Slice index 47
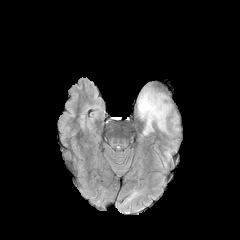
FLAIR MR image.
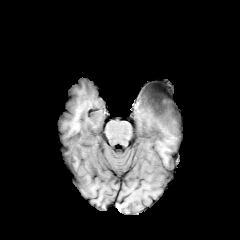
Same slice, T1-weighted MRI.
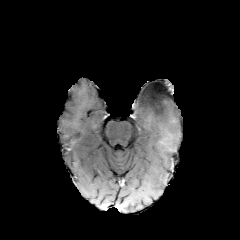
Post-contrast T1-weighted MRI.
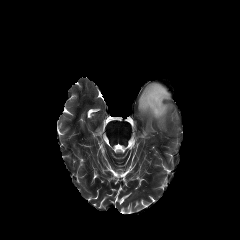
T2-weighted MR image.
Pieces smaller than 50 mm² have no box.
necrotic tumor core at <bbox>144, 84, 168, 114</bbox>
peritumoral edema at <bbox>137, 85, 172, 135</bbox>